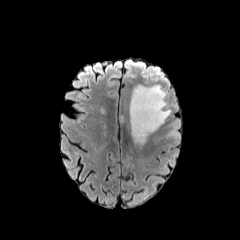
FLAIR MRI.
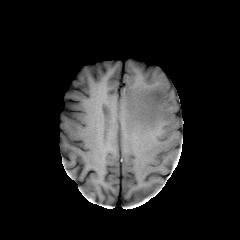
T1-weighted MR.
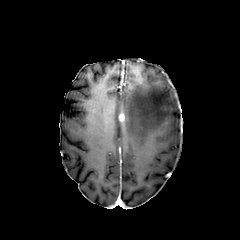
Post-contrast T1-weighted MR.
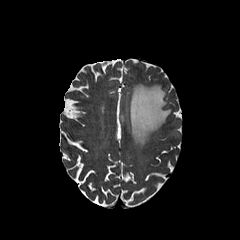
Same slice, T2-weighted MRI.
240x240.
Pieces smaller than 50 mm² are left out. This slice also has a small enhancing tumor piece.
{
  "peritumoral_edema": [
    "rect(129, 85, 170, 147)"
  ]
}